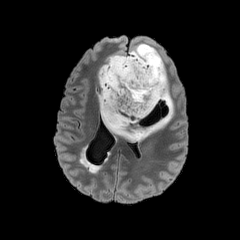
FLAIR MR image.
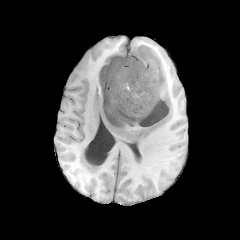
T1-weighted magnetic resonance.
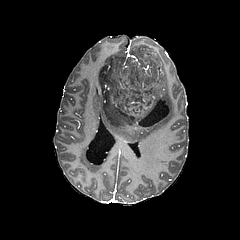
Post-contrast T1-weighted MR image.
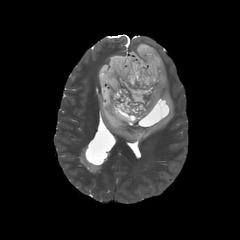
Same slice, T2-weighted MR image.
Brain
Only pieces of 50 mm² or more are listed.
{"peritumoral_edema": ["rect(97, 43, 173, 142)"], "necrotic_tumor_core": ["rect(100, 54, 171, 127)"]}